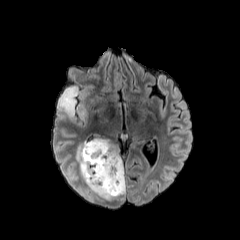
FLAIR MR.
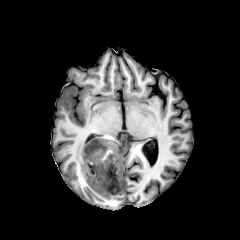
Same slice, T1-weighted MRI.
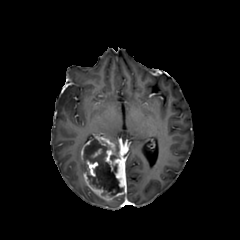
Post-contrast T1-weighted MRI.
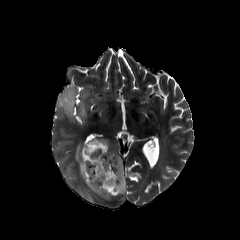
T2-weighted MR image.
Axial view
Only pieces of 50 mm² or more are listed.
The 3 largest peritumoral edema regions are located at 83 186 104 201, 76 145 86 179, 58 86 78 116. The largest necrotic tumor core region lies within 83 139 123 195. The largest enhancing tumor region is located at 81 137 126 201.